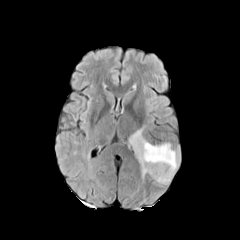
FLAIR magnetic resonance.
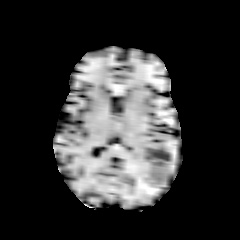
T1-weighted MR of the same slice.
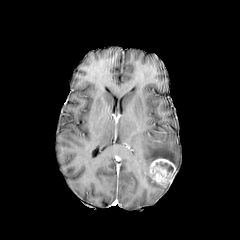
Post-contrast T1-weighted MR of the same slice.
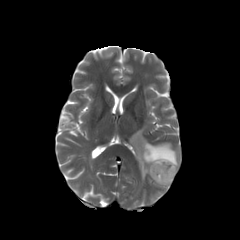
T2-weighted MR image of the same slice.
Axial slice; Brain; 240x240
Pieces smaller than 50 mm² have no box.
Segmented structures:
* necrotic tumor core: rect(161, 163, 173, 171)
* peritumoral edema: rect(130, 127, 180, 177)
* enhancing tumor: rect(149, 158, 176, 185)